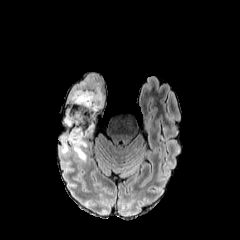
FLAIR magnetic resonance.
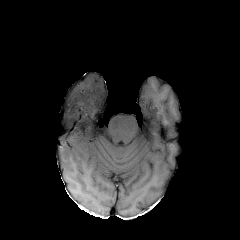
T1-weighted MR of the same slice.
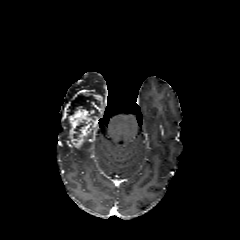
Post-contrast T1-weighted magnetic resonance of the same slice.
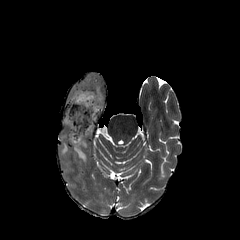
T2-weighted MR image of the same slice.
Axial slice.
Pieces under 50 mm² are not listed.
necrotic tumor core = (x1=73, y1=93, x2=100, y2=119), (x1=76, y1=120, x2=87, y2=127)
enhancing tumor = (x1=73, y1=89, x2=103, y2=118), (x1=69, y1=106, x2=95, y2=148)
peritumoral edema = (x1=61, y1=143, x2=68, y2=154), (x1=63, y1=83, x2=86, y2=125), (x1=73, y1=141, x2=87, y2=162)